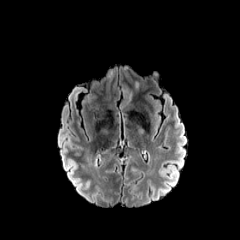
FLAIR MR.
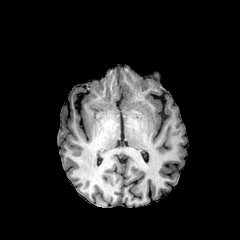
Same slice, T1-weighted magnetic resonance.
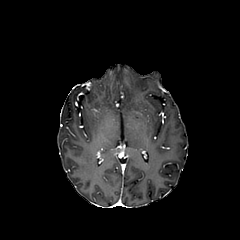
Post-contrast T1-weighted MR image.
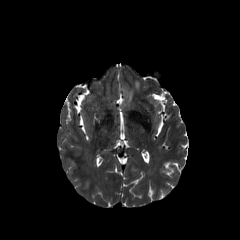
Same slice, T2-weighted magnetic resonance.
Brain | Axial slice
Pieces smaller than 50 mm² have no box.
peritumoral edema: (left=122, top=89, right=132, bottom=101)